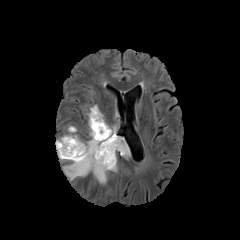
FLAIR MR.
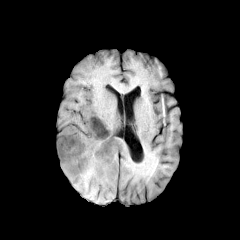
T1-weighted MR.
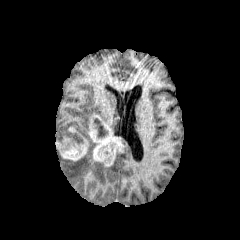
Post-contrast T1-weighted magnetic resonance.
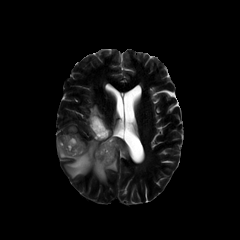
T2-weighted MRI.
Brain | 240x240
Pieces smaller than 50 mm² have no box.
The 3 largest peritumoral edema regions appear at [87, 105, 104, 130], [56, 132, 117, 183], [117, 137, 129, 156]. The largest necrotic tumor core region is located at [93, 118, 107, 137]. The 2 largest enhancing tumor regions are located at [88, 113, 121, 166], [56, 136, 88, 160].